FLAIR MRI.
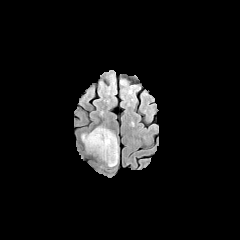
T1-weighted MR image.
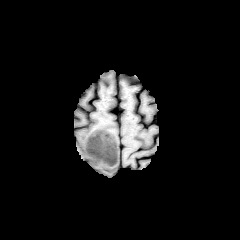
Post-contrast T1-weighted MR image.
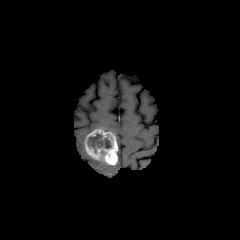
T2-weighted MR.
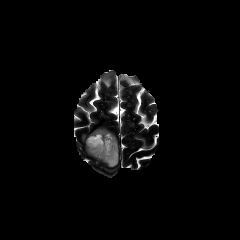
Image size 240x240
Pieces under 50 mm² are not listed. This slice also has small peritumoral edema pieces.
{
  "enhancing_tumor": [
    "84 128 118 165"
  ],
  "necrotic_tumor_core": [
    "88 134 110 148"
  ]
}